Head | Image width 240 mm | Axial plane
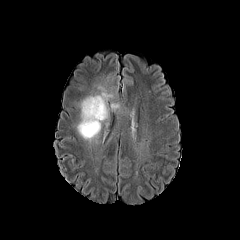
FLAIR MR image.
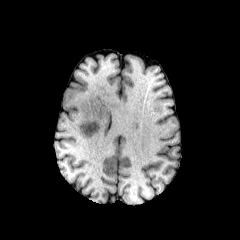
T1-weighted magnetic resonance.
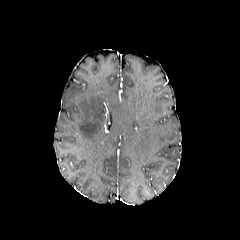
Post-contrast T1-weighted MR of the same slice.
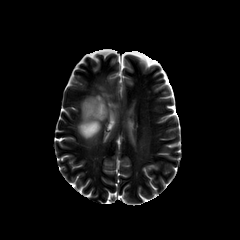
T2-weighted MR of the same slice.
The peritumoral edema is bounded by (77,74,124,141).